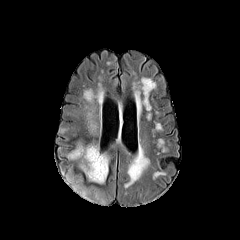
FLAIR MR.
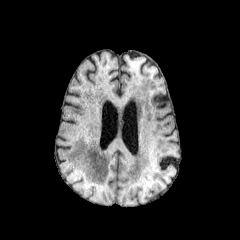
T1-weighted MR image.
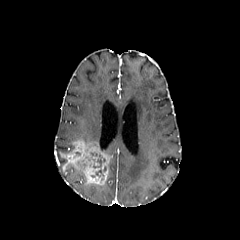
Post-contrast T1-weighted MRI.
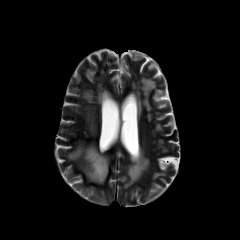
Same slice, T2-weighted magnetic resonance.
240x240; Brain
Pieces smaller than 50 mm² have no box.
necrotic_tumor_core:
  - [x1=93, y1=154, x2=105, y2=168]
enhancing_tumor:
  - [x1=57, y1=141, x2=109, y2=184]
peritumoral_edema:
  - [x1=76, y1=160, x2=86, y2=170]